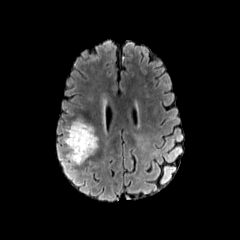
FLAIR magnetic resonance.
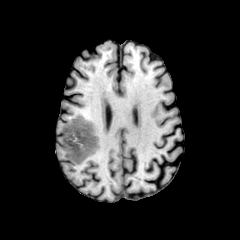
T1-weighted magnetic resonance.
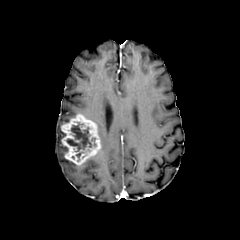
Same slice, post-contrast T1-weighted MR image.
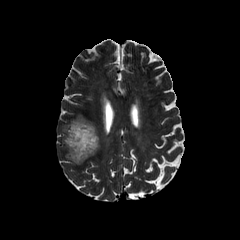
Same slice, T2-weighted MR.
Axial slice, Head
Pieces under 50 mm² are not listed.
Annotated regions:
* necrotic tumor core: <box>66,122,96,151</box>
* enhancing tumor: <box>61,114,100,165</box>